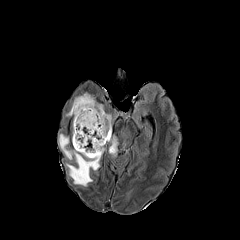
FLAIR MRI.
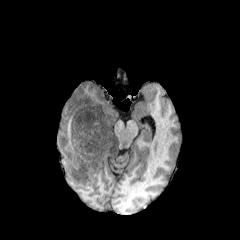
Same slice, T1-weighted magnetic resonance.
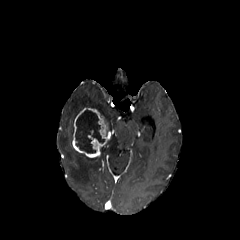
Post-contrast T1-weighted MR.
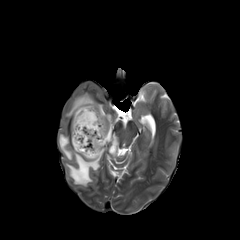
T2-weighted MR of the same slice.
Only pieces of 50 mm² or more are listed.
The necrotic tumor core appears at <bbox>75, 110, 104, 153</bbox>. The largest enhancing tumor region lies within <bbox>72, 107, 111, 157</bbox>. The 3 largest peritumoral edema regions are bounded by <bbox>66, 93, 111, 131</bbox>, <bbox>107, 136, 118, 156</bbox>, <bbox>58, 134, 100, 186</bbox>.